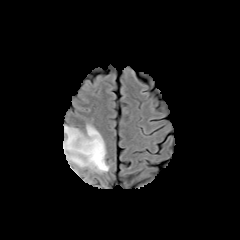
FLAIR MR.
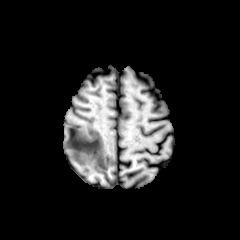
Same slice, T1-weighted MRI.
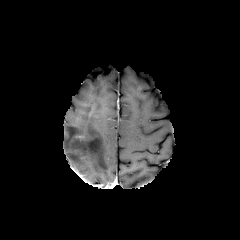
Post-contrast T1-weighted MRI.
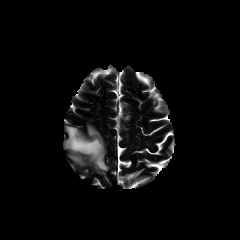
Same slice, T2-weighted MRI.
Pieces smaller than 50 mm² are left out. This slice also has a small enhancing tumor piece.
peritumoral_edema:
  - 63,124,109,173